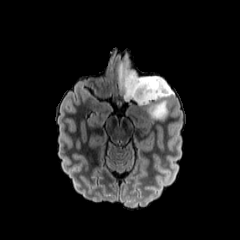
FLAIR MRI.
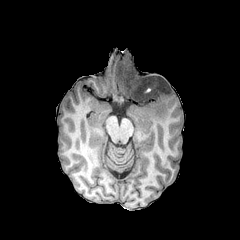
T1-weighted MRI.
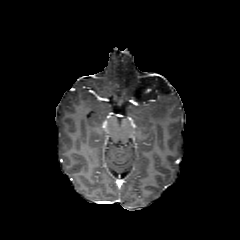
Post-contrast T1-weighted MR of the same slice.
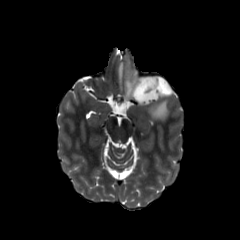
T2-weighted MR.
Brain
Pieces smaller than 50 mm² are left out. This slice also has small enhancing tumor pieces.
{
  "peritumoral_edema": [
    "x1=118, y1=62, x2=173, y2=120"
  ]
}